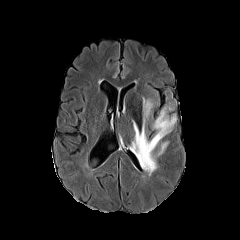
FLAIR MR.
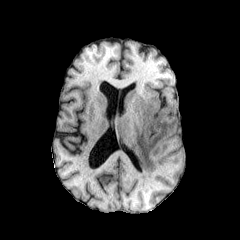
T1-weighted MR image.
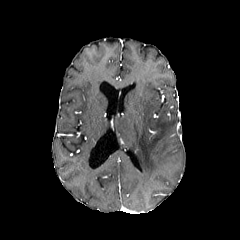
Post-contrast T1-weighted MR image.
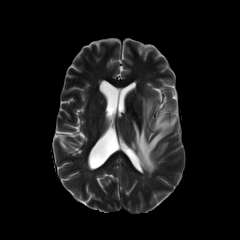
Same slice, T2-weighted MRI.
peritumoral edema = (130, 98, 176, 175)